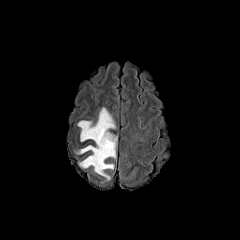
FLAIR magnetic resonance.
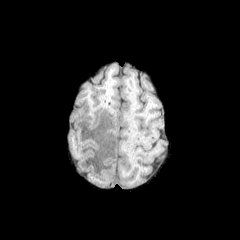
T1-weighted MRI of the same slice.
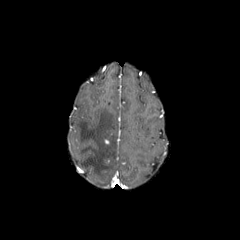
Same slice, post-contrast T1-weighted magnetic resonance.
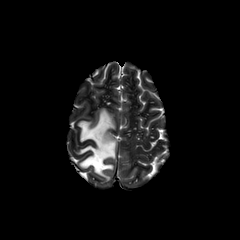
T2-weighted magnetic resonance.
Brain
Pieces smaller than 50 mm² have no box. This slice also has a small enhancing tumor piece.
peritumoral edema: bounding box rect(77, 108, 116, 180)